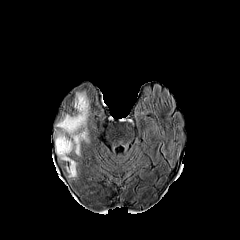
FLAIR MRI.
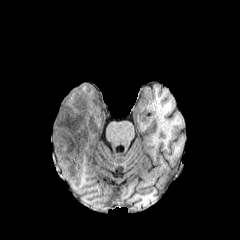
T1-weighted MR.
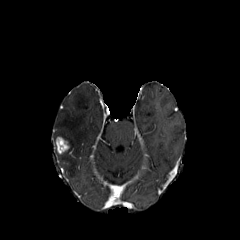
Post-contrast T1-weighted MR.
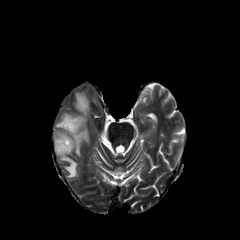
T2-weighted magnetic resonance.
Head
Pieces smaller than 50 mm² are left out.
enhancing tumor: {"x1": 56, "y1": 137, "x2": 69, "y2": 153}
peritumoral edema: {"x1": 56, "y1": 92, "x2": 89, "y2": 154}, {"x1": 57, "y1": 141, "x2": 76, "y2": 177}